Head. Axial view.
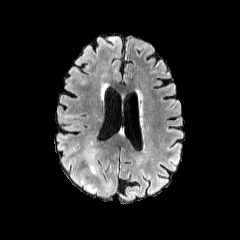
FLAIR MRI.
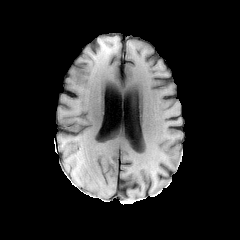
T1-weighted MRI.
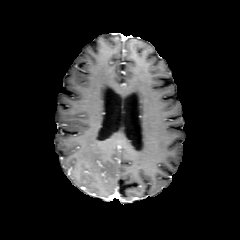
Post-contrast T1-weighted MRI.
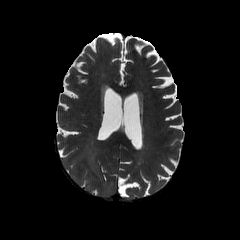
Same slice, T2-weighted magnetic resonance.
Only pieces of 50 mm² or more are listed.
<segmentation>
  <peritumoral_edema><bbox>85, 149, 97, 174</bbox>, <bbox>85, 184, 96, 191</bbox></peritumoral_edema>
</segmentation>